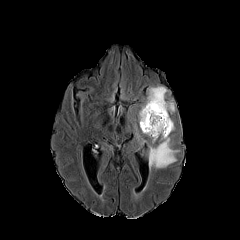
FLAIR magnetic resonance.
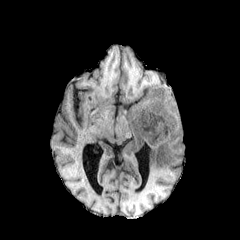
T1-weighted MRI.
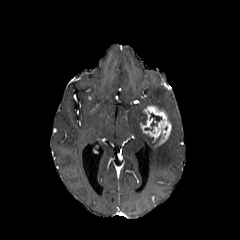
Post-contrast T1-weighted MRI.
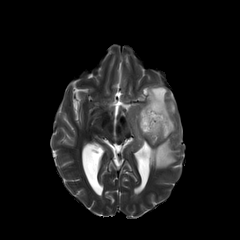
T2-weighted MR image.
Brain
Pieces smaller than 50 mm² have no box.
peritumoral edema: region(134, 86, 179, 169) | enhancing tumor: region(140, 105, 171, 146) | necrotic tumor core: region(145, 113, 161, 131)